Brain, Axial slice, 240x240 px
FLAIR MRI.
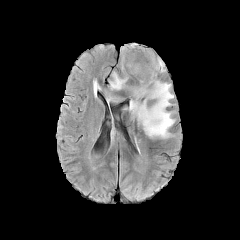
T1-weighted MR.
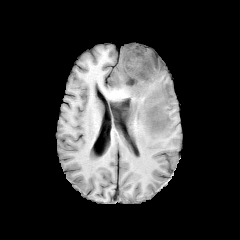
Post-contrast T1-weighted magnetic resonance.
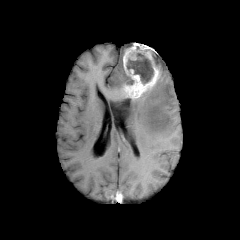
T2-weighted MRI.
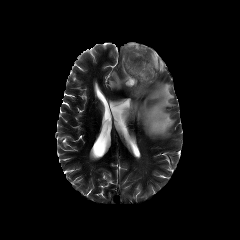
The enhancing tumor is at <box>123,43,161,99</box>. 3 necrotic tumor core regions are located at <box>152,51,159,65</box>, <box>125,76,133,84</box>, <box>127,53,153,83</box>. 3 peritumoral edema regions are bounded by <box>129,79,175,138</box>, <box>110,44,131,89</box>, <box>158,56,165,73</box>.